FLAIR MR.
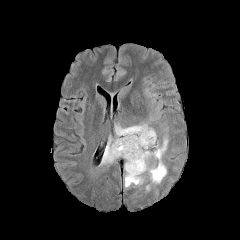
T1-weighted MRI.
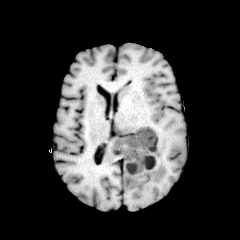
Post-contrast T1-weighted magnetic resonance.
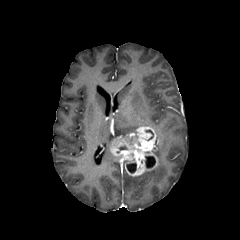
T2-weighted MR image.
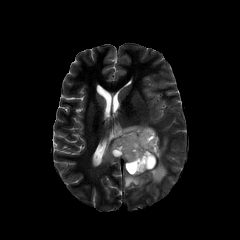
Axial slice
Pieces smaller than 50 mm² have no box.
The 2 largest necrotic tumor core regions appear at box(145, 156, 155, 168); box(126, 162, 136, 173). The enhancing tumor is at box(110, 126, 157, 176). The 4 largest peritumoral edema regions are located at box(124, 172, 143, 187); box(115, 124, 148, 137); box(102, 140, 118, 163); box(148, 138, 167, 183).